Brain
FLAIR MRI.
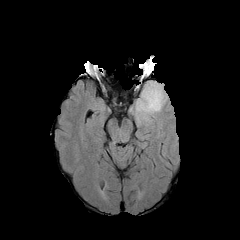
T1-weighted MRI.
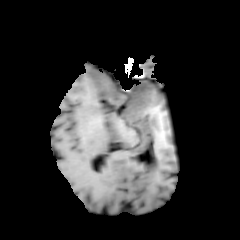
Post-contrast T1-weighted MR image.
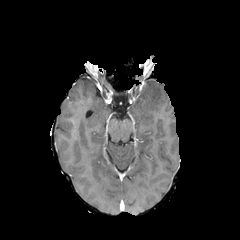
T2-weighted MR.
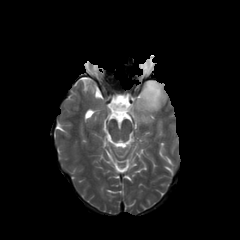
The peritumoral edema lies within [129,81,167,125].